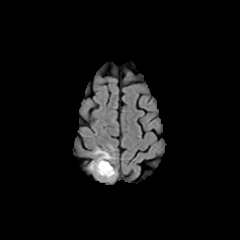
FLAIR MRI.
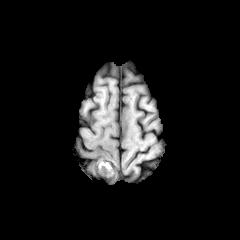
T1-weighted MR.
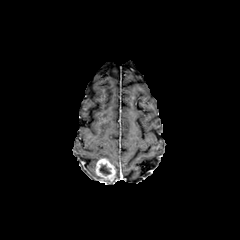
Post-contrast T1-weighted MR image of the same slice.
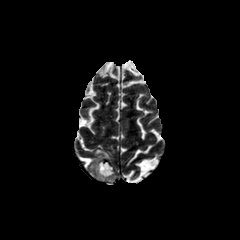
T2-weighted magnetic resonance.
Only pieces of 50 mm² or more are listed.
necrotic_tumor_core:
  - (99, 164, 110, 175)
peritumoral_edema:
  - (89, 149, 113, 170)
enhancing_tumor:
  - (95, 158, 115, 180)